FLAIR MR image.
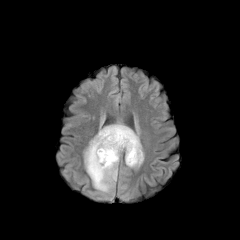
T1-weighted MR.
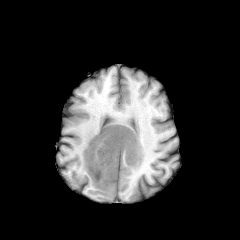
Post-contrast T1-weighted magnetic resonance.
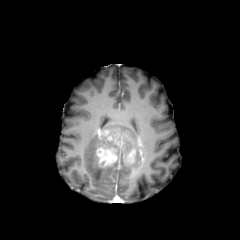
T2-weighted MRI.
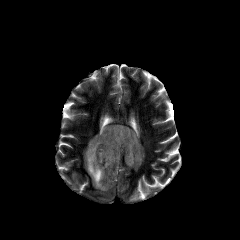
Brain
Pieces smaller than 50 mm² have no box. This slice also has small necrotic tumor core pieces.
The peritumoral edema appears at box=[84, 122, 144, 192]. The 4 largest enhancing tumor regions are bounded by box=[127, 148, 135, 163]; box=[98, 129, 110, 138]; box=[96, 147, 117, 166]; box=[107, 132, 126, 148].